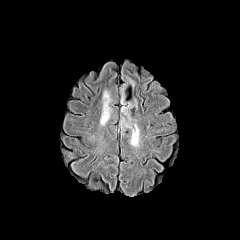
FLAIR MR image.
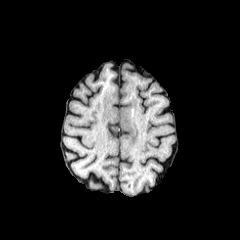
T1-weighted MR.
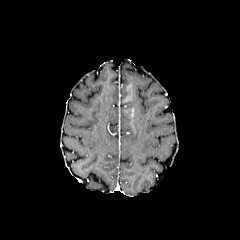
Same slice, post-contrast T1-weighted magnetic resonance.
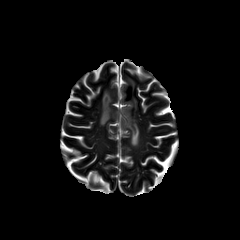
T2-weighted magnetic resonance.
Image size 240x240
peritumoral edema: rect(118, 84, 139, 147); rect(100, 91, 111, 125); rect(124, 76, 134, 85)